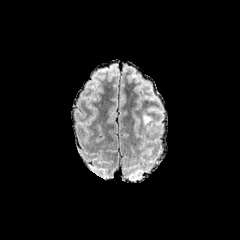
FLAIR MRI.
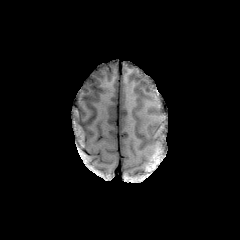
T1-weighted magnetic resonance of the same slice.
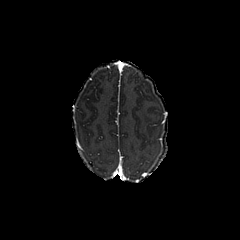
Post-contrast T1-weighted MR.
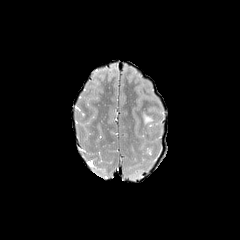
T2-weighted MR image.
Axial slice; Head
Findings:
- peritumoral edema: <bbox>143, 113, 151, 124</bbox>